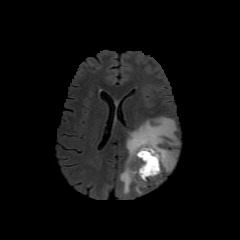
FLAIR magnetic resonance.
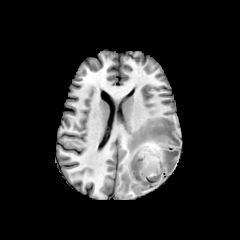
Same slice, T1-weighted magnetic resonance.
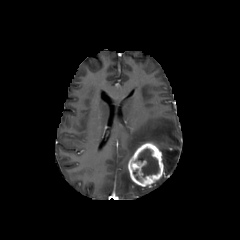
Post-contrast T1-weighted magnetic resonance.
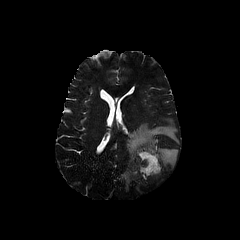
Same slice, T2-weighted MR.
Head
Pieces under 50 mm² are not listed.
<segmentation>
  <peritumoral_edema>[x1=119, y1=117, x2=179, y2=193]</peritumoral_edema>
  <enhancing_tumor>[x1=128, y1=142, x2=163, y2=186]</enhancing_tumor>
  <necrotic_tumor_core>[x1=137, y1=149, x2=159, y2=177]</necrotic_tumor_core>
</segmentation>